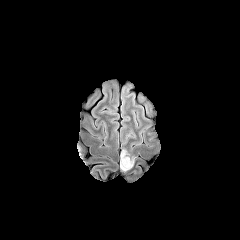
FLAIR MRI.
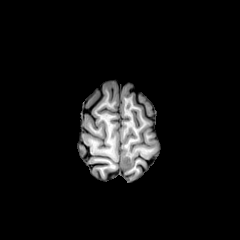
T1-weighted MR.
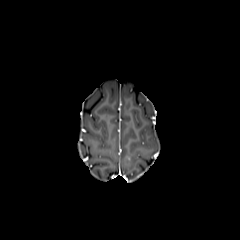
Post-contrast T1-weighted MR.
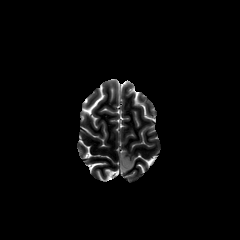
T2-weighted magnetic resonance of the same slice.
240x240.
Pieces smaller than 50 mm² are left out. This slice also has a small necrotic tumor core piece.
enhancing_tumor:
  - (left=124, top=156, right=131, bottom=168)
peritumoral_edema:
  - (left=120, top=148, right=136, bottom=171)